Slice 66 of 155, Head
FLAIR magnetic resonance.
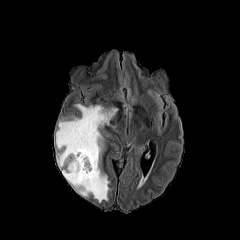
T1-weighted MR.
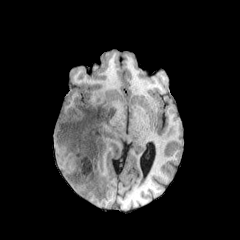
Post-contrast T1-weighted magnetic resonance.
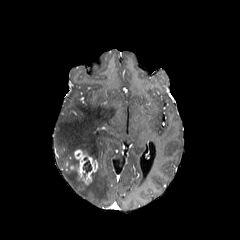
T2-weighted MR.
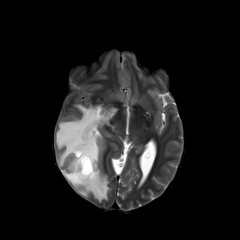
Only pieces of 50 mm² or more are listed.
enhancing tumor at 74 149 97 184
necrotic tumor core at 83 157 91 176
peritumoral edema at 56 104 117 202